Axial plane
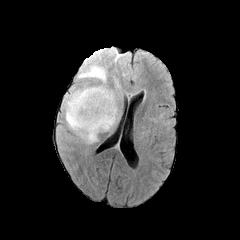
FLAIR MR.
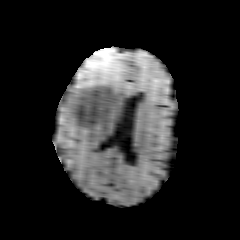
Same slice, T1-weighted MRI.
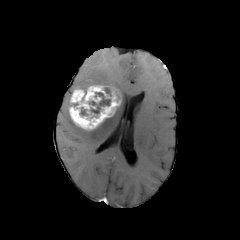
Post-contrast T1-weighted magnetic resonance.
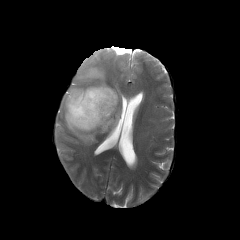
T2-weighted magnetic resonance of the same slice.
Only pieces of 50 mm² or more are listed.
The largest peritumoral edema region is at (x1=62, y1=65, x2=119, y2=143). The largest necrotic tumor core region lies within (x1=96, y1=93, x2=110, y2=105). The enhancing tumor is located at (x1=69, y1=85, x2=121, y2=130).